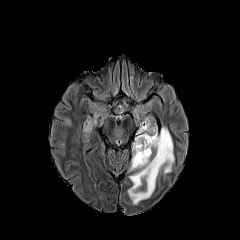
FLAIR MR image.
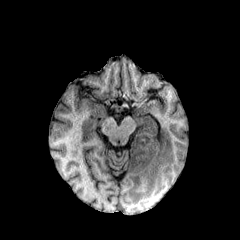
T1-weighted magnetic resonance of the same slice.
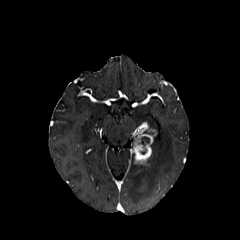
Post-contrast T1-weighted magnetic resonance of the same slice.
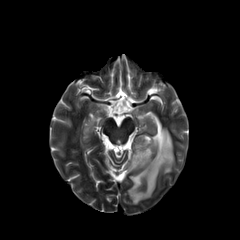
T2-weighted MR of the same slice.
Image size 240x240; Brain; Axial view
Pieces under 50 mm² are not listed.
{"enhancing_tumor": ["left=132, top=121, right=156, bottom=166"], "peritumoral_edema": ["left=128, top=127, right=174, bottom=204", "left=140, top=117, right=156, bottom=130", "left=84, top=118, right=92, bottom=131"], "necrotic_tumor_core": ["left=141, top=137, right=149, bottom=146"]}